FLAIR MR image.
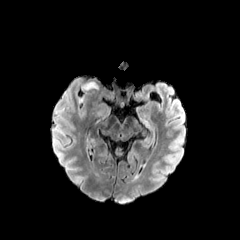
T1-weighted MR image.
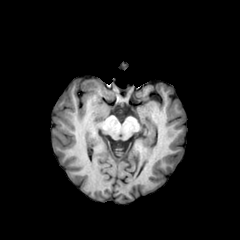
Post-contrast T1-weighted MRI.
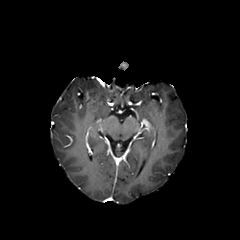
T2-weighted MRI.
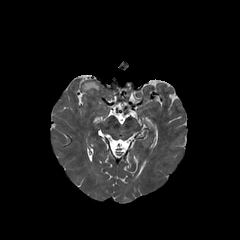
Axial plane
peritumoral_edema:
  - left=83, top=81, right=99, bottom=90